Slice 44 of 155; Image size 240x240; Axial plane; Brain
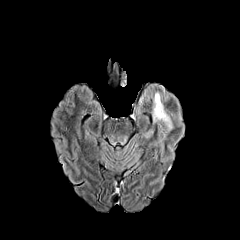
FLAIR MRI.
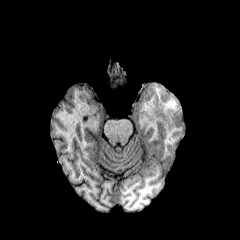
T1-weighted MR image.
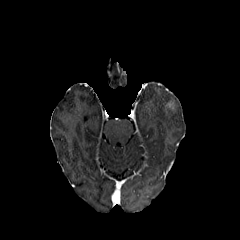
Post-contrast T1-weighted MRI.
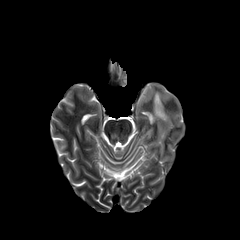
T2-weighted MRI.
peritumoral edema at (153, 93, 172, 129)